Brain; Axial slice
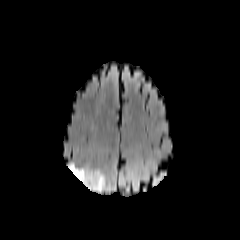
FLAIR MR image.
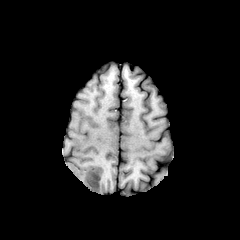
T1-weighted magnetic resonance.
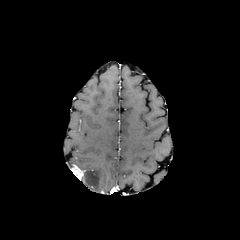
Same slice, post-contrast T1-weighted MR image.
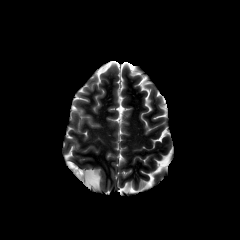
T2-weighted magnetic resonance.
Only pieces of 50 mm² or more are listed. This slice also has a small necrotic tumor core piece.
- enhancing tumor: {"x1": 69, "y1": 164, "x2": 84, "y2": 179}
- peritumoral edema: {"x1": 80, "y1": 170, "x2": 104, "y2": 191}